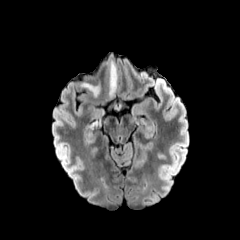
FLAIR MRI.
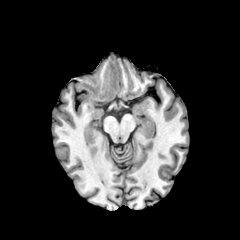
T1-weighted MR image of the same slice.
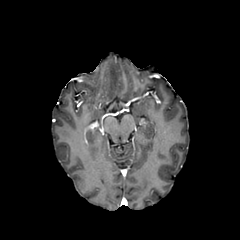
Same slice, post-contrast T1-weighted magnetic resonance.
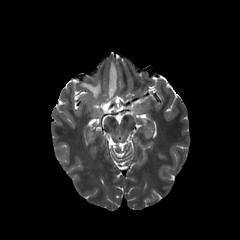
T2-weighted magnetic resonance.
Head
peritumoral_edema:
  - bbox(81, 83, 99, 97)
  - bbox(108, 62, 117, 97)